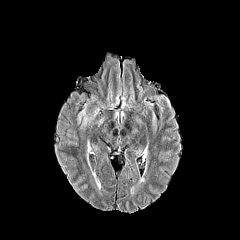
FLAIR magnetic resonance.
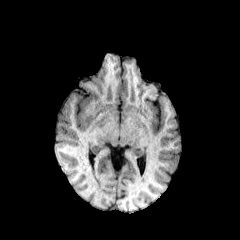
Same slice, T1-weighted magnetic resonance.
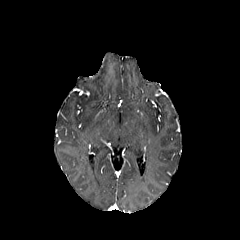
Post-contrast T1-weighted MR of the same slice.
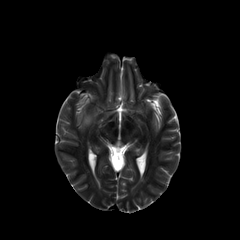
Same slice, T2-weighted MRI.
Axial plane.
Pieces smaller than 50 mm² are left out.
The largest peritumoral edema region is located at [82, 107, 92, 124].